Axial slice; 240x240 px
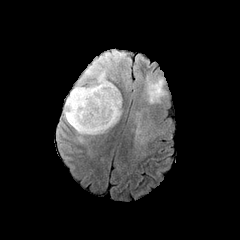
FLAIR magnetic resonance.
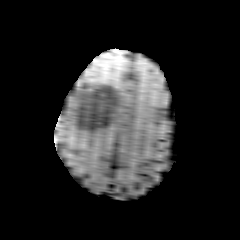
T1-weighted MR.
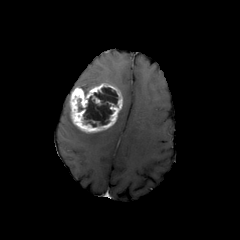
Post-contrast T1-weighted MRI of the same slice.
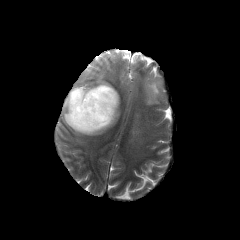
Same slice, T2-weighted MR.
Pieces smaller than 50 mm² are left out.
enhancing tumor: left=69, top=81, right=122, bottom=132
necrotic tumor core: left=84, top=97, right=111, bottom=124; left=94, top=88, right=117, bottom=104
peritumoral edema: left=77, top=62, right=106, bottom=92; left=62, top=95, right=106, bottom=140